FLAIR magnetic resonance.
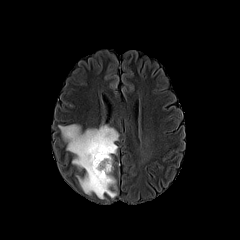
T1-weighted MR.
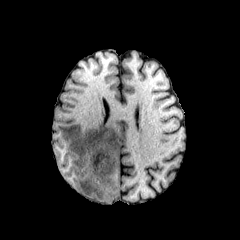
Post-contrast T1-weighted MRI.
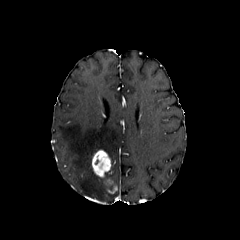
T2-weighted MR image.
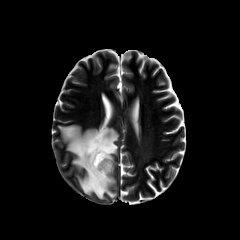
Image size 240x240 | Brain
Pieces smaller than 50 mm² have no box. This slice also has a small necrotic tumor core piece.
peritumoral edema: rect(58, 124, 118, 199) | enhancing tumor: rect(104, 178, 113, 185); rect(91, 149, 111, 178)